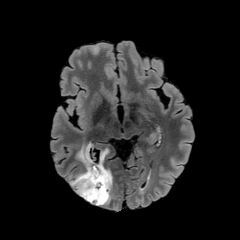
FLAIR magnetic resonance.
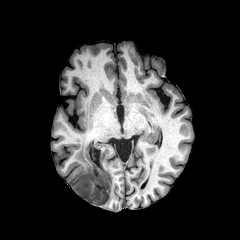
Same slice, T1-weighted MRI.
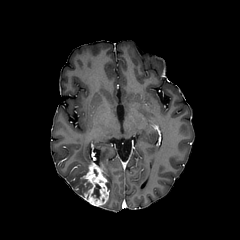
Post-contrast T1-weighted MR.
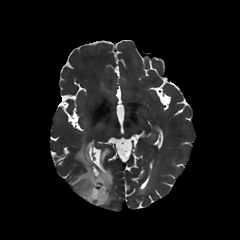
T2-weighted MR image.
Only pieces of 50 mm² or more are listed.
The enhancing tumor is at left=81, top=163, right=109, bottom=206. The largest necrotic tumor core region is bounded by left=92, top=184, right=100, bottom=198. 2 peritumoral edema regions are located at left=67, top=144, right=94, bottom=196; left=95, top=148, right=113, bottom=206.